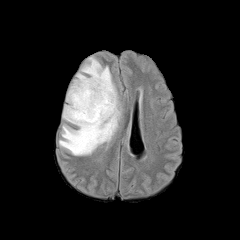
FLAIR MRI.
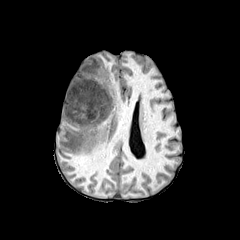
T1-weighted MRI.
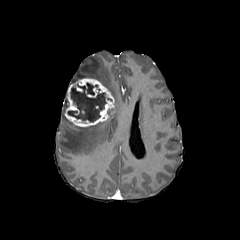
Post-contrast T1-weighted MR image.
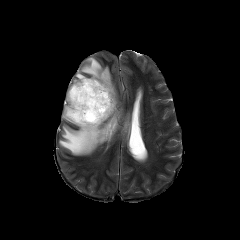
T2-weighted MR image.
Axial plane. Head.
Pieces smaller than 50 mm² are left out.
Segmented structures:
* enhancing tumor: [64, 78, 114, 126]
* necrotic tumor core: [68, 83, 106, 122]
* peritumoral edema: [59, 57, 121, 155]